Image width 240 mm, 1.00 mm slice spacing | Axial plane | Brain
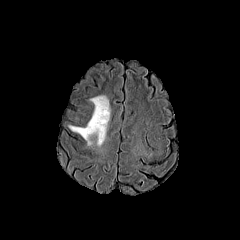
FLAIR MR image.
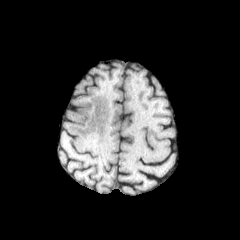
Same slice, T1-weighted MR image.
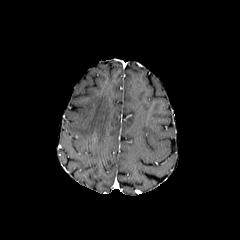
Post-contrast T1-weighted MR.
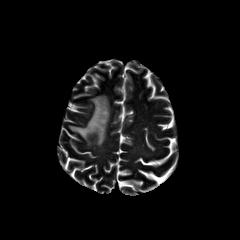
T2-weighted MR image.
peritumoral edema — region(69, 95, 110, 145)